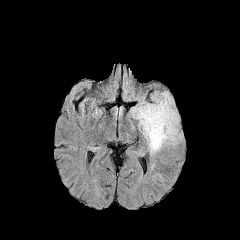
FLAIR MR image.
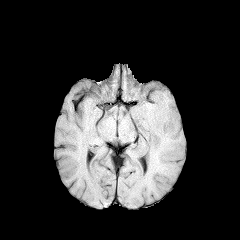
Same slice, T1-weighted MRI.
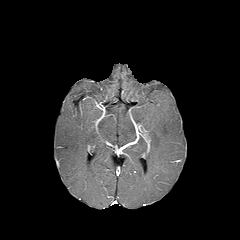
Same slice, post-contrast T1-weighted MRI.
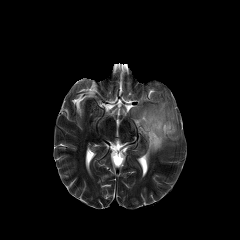
T2-weighted MR image.
Head
The peritumoral edema is at 132 92 181 154.